Axial plane.
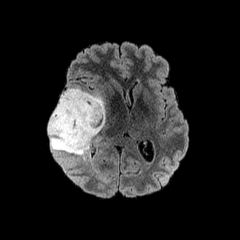
FLAIR MRI.
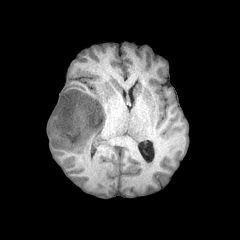
T1-weighted MR image.
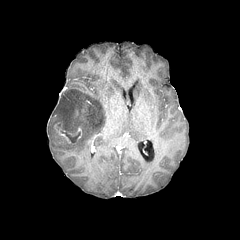
Same slice, post-contrast T1-weighted magnetic resonance.
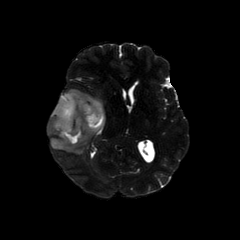
T2-weighted MR of the same slice.
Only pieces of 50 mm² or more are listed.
peritumoral edema = 48, 88, 105, 159
necrotic tumor core = 61, 131, 80, 142
enhancing tumor = 54, 122, 81, 144